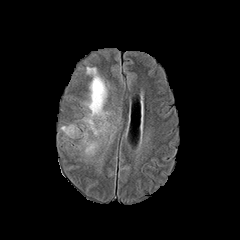
FLAIR MR image.
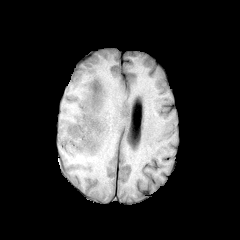
T1-weighted MRI.
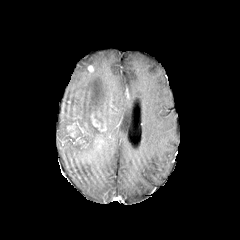
Post-contrast T1-weighted MR.
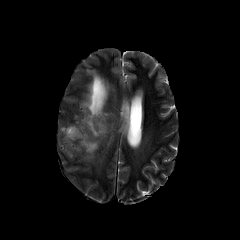
Same slice, T2-weighted MR image.
Axial slice
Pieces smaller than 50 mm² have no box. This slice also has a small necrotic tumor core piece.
{"enhancing_tumor": ["region(91, 113, 107, 131)", "region(67, 126, 74, 136)"], "peritumoral_edema": ["region(61, 125, 74, 137)", "region(80, 68, 108, 155)"]}